Brain
FLAIR MRI.
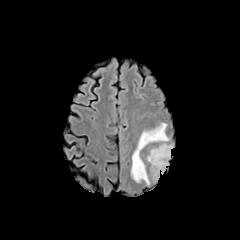
T1-weighted MR.
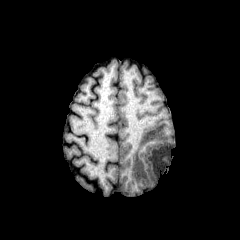
Post-contrast T1-weighted magnetic resonance.
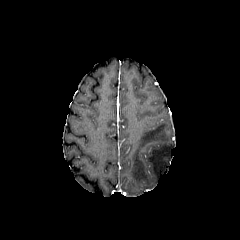
T2-weighted MRI.
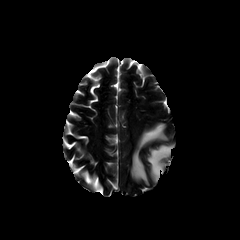
2 peritumoral edema regions are bounded by l=147, t=144, r=172, b=181; l=131, t=123, r=168, b=185.